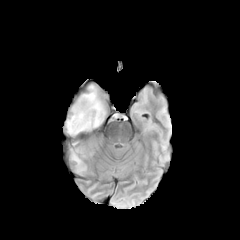
FLAIR magnetic resonance.
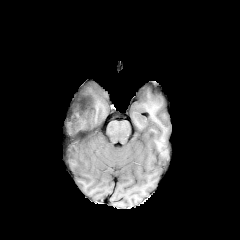
Same slice, T1-weighted magnetic resonance.
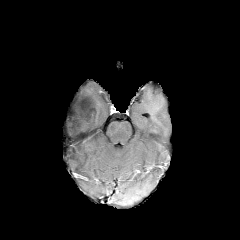
Same slice, post-contrast T1-weighted MRI.
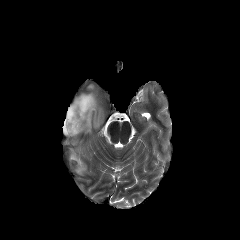
T2-weighted magnetic resonance of the same slice.
Head
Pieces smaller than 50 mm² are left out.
The 2 largest peritumoral edema regions appear at 63:82:108:136, 69:145:91:174.